Axial plane, Brain
FLAIR magnetic resonance.
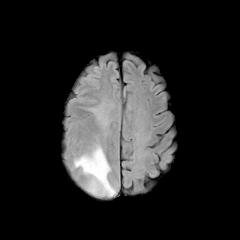
T1-weighted MR image.
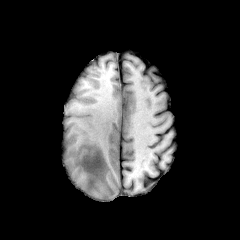
Post-contrast T1-weighted MR.
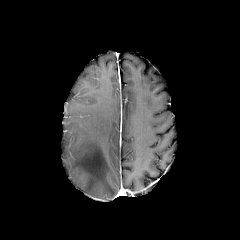
T2-weighted MR image.
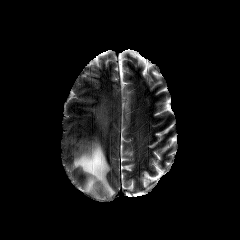
peritumoral edema: bounding box 73,143,115,196